Image size 240x240, Axial plane, Head, Slice 69 of 155
FLAIR magnetic resonance.
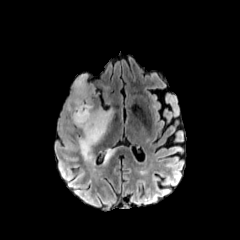
T1-weighted magnetic resonance.
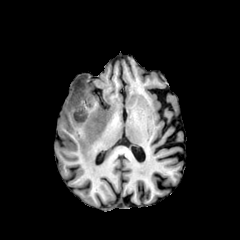
Post-contrast T1-weighted magnetic resonance.
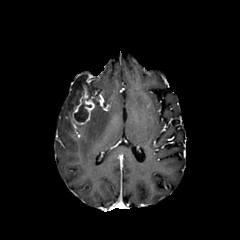
T2-weighted MR image.
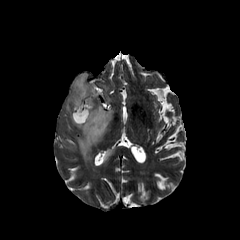
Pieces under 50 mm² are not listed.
<segmentation>
  <necrotic_tumor_core>x1=74 y1=99 x2=91 y2=122</necrotic_tumor_core>
  <peritumoral_edema>x1=75 y1=105 x2=113 y2=160, x1=65 y1=74 x2=98 y2=113, x1=105 y1=150 x2=113 y2=161</peritumoral_edema>
  <enhancing_tumor>x1=70 y1=85 x2=98 y2=125</enhancing_tumor>
</segmentation>